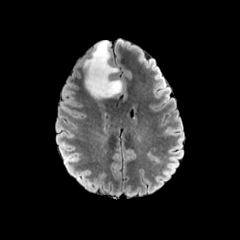
FLAIR MRI.
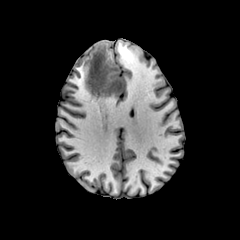
T1-weighted magnetic resonance of the same slice.
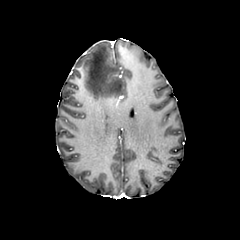
Post-contrast T1-weighted MR.
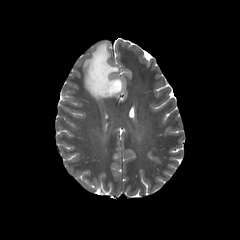
T2-weighted MR image.
The peritumoral edema is bounded by x1=84, y1=41, x2=122, y2=98.